FLAIR MRI.
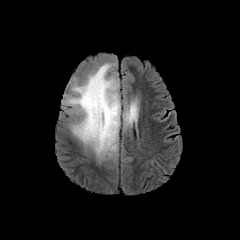
T1-weighted MR image.
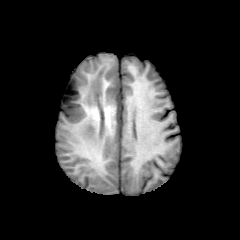
Post-contrast T1-weighted MRI.
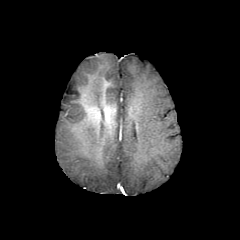
T2-weighted magnetic resonance.
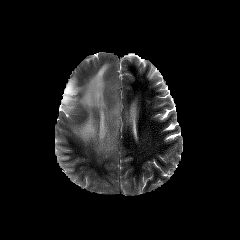
peritumoral edema: region(62, 62, 140, 159)